FLAIR MRI.
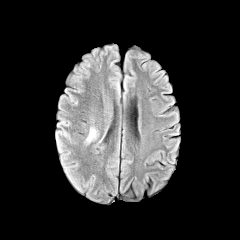
T1-weighted MR.
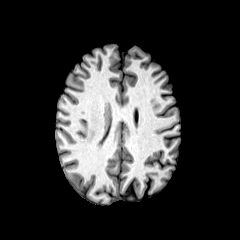
Post-contrast T1-weighted magnetic resonance.
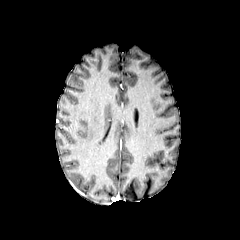
T2-weighted MR.
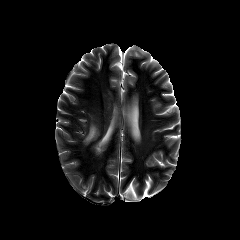
Axial plane
Findings:
- peritumoral edema: [86, 127, 96, 142]